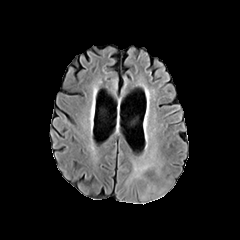
FLAIR MR image.
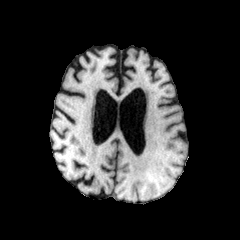
Same slice, T1-weighted magnetic resonance.
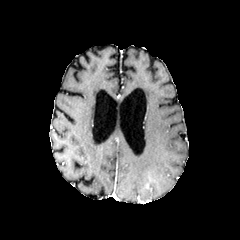
Post-contrast T1-weighted magnetic resonance of the same slice.
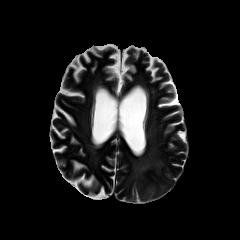
T2-weighted magnetic resonance of the same slice.
Image size 240x240
<segmentation>
  <peritumoral_edema>left=132, top=156, right=156, bottom=173</peritumoral_edema>
</segmentation>